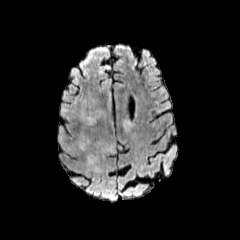
FLAIR magnetic resonance.
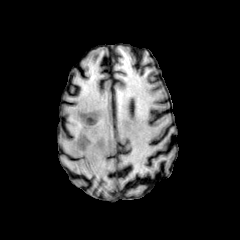
T1-weighted magnetic resonance of the same slice.
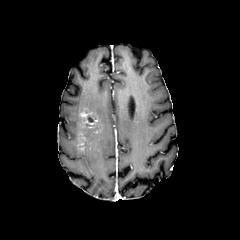
Same slice, post-contrast T1-weighted MR image.
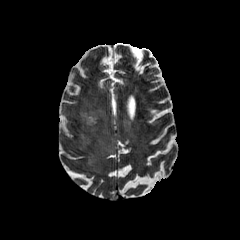
T2-weighted MR of the same slice.
Image size 240x240, Head
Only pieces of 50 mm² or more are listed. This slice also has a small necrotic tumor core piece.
Findings:
- peritumoral edema: (x1=88, y1=141, x2=113, y2=164), (x1=123, y1=121, x2=129, y2=132)
- enhancing tumor: (x1=78, y1=131, x2=88, y2=150), (x1=79, y1=111, x2=97, y2=129)